FLAIR magnetic resonance.
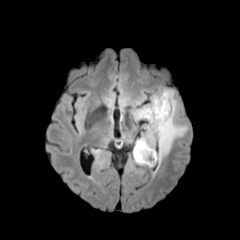
T1-weighted MRI.
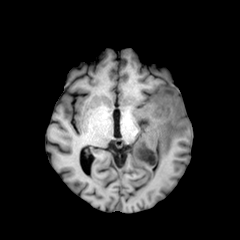
Post-contrast T1-weighted MR image.
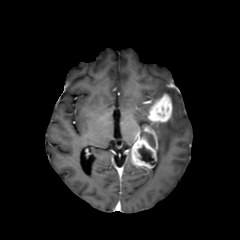
T2-weighted MR image.
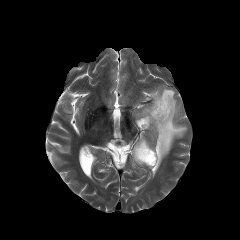
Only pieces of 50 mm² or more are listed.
necrotic tumor core at left=138, top=146, right=154, bottom=165
peritumoral edema at left=133, top=88, right=187, bottom=167
enhancing tumor at left=131, top=137, right=156, bottom=168; left=148, top=93, right=172, bottom=122; left=145, top=126, right=155, bottom=138